Image size 240x240. Slice index 85.
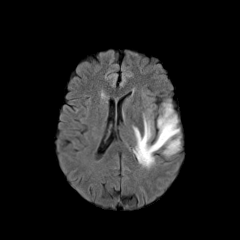
FLAIR MRI.
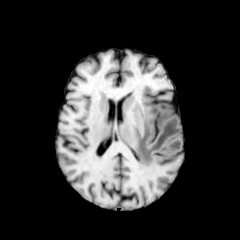
T1-weighted MRI.
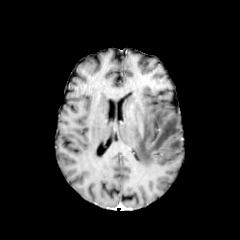
Post-contrast T1-weighted MRI.
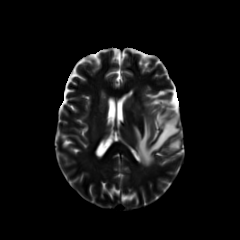
T2-weighted MR image of the same slice.
peritumoral edema = 166 140 180 152, 136 108 179 164